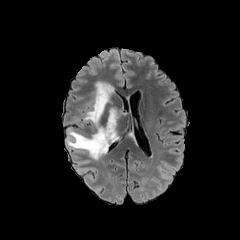
FLAIR MRI.
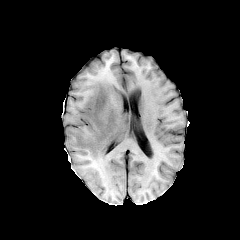
T1-weighted MR image.
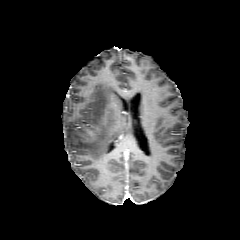
Same slice, post-contrast T1-weighted magnetic resonance.
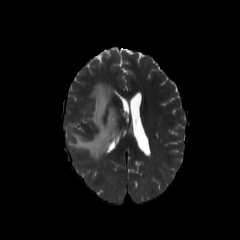
T2-weighted MRI.
Axial plane
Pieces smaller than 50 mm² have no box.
peritumoral edema: [66, 81, 118, 160]